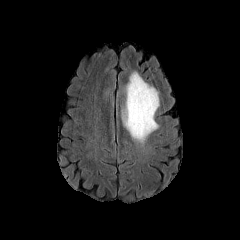
FLAIR magnetic resonance.
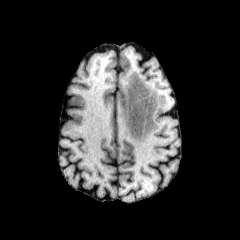
Same slice, T1-weighted MRI.
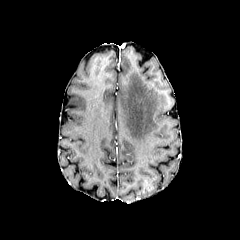
Post-contrast T1-weighted magnetic resonance of the same slice.
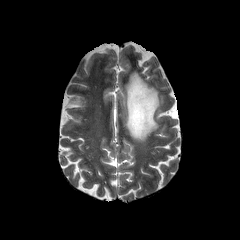
T2-weighted MRI.
Head
peritumoral edema at (122, 71, 159, 142)